FLAIR magnetic resonance.
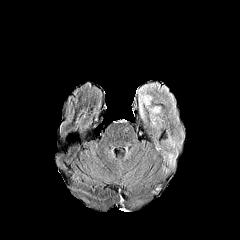
T1-weighted MR image.
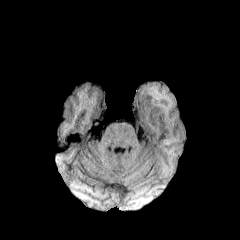
Post-contrast T1-weighted magnetic resonance.
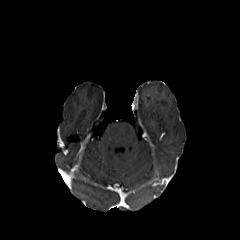
T2-weighted MRI.
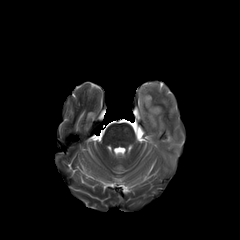
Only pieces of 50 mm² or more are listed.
peritumoral_edema:
  - [x1=139, y1=86, x2=151, y2=119]
  - [x1=149, y1=107, x2=160, y2=116]
  - [x1=163, y1=153, x2=175, y2=167]
  - [x1=167, y1=136, x2=181, y2=154]